240x240 px; Brain
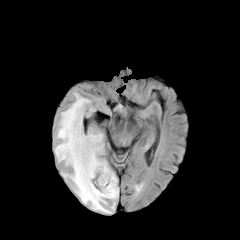
FLAIR MRI.
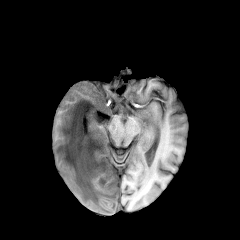
Same slice, T1-weighted MRI.
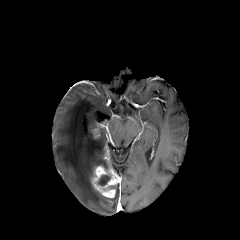
Post-contrast T1-weighted MR image.
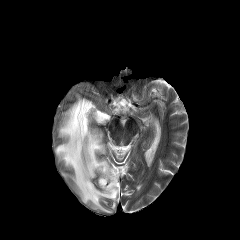
T2-weighted MR of the same slice.
The peritumoral edema is bounded by x1=54 y1=92 x2=118 y2=213. The necrotic tumor core is at x1=98 y1=175 x2=110 y2=185. 2 enhancing tumor regions appear at x1=90 y1=146 x2=119 y2=197, x1=92 y1=128 x2=100 y2=138.